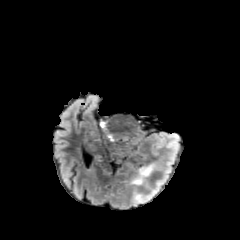
FLAIR MR.
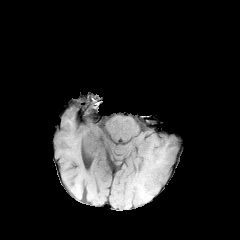
T1-weighted MR image.
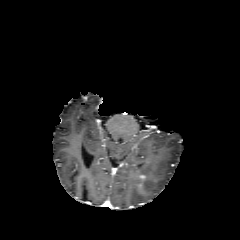
Post-contrast T1-weighted MR.
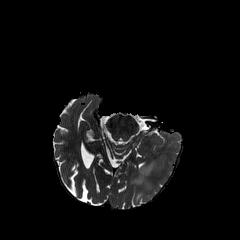
T2-weighted magnetic resonance of the same slice.
Axial plane
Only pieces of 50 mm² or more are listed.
Segmented structures:
* peritumoral edema: (132, 164, 153, 185), (135, 194, 141, 202)